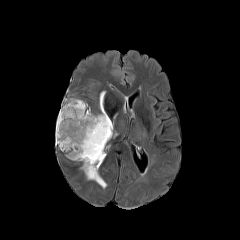
FLAIR magnetic resonance.
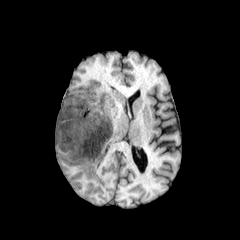
T1-weighted MRI of the same slice.
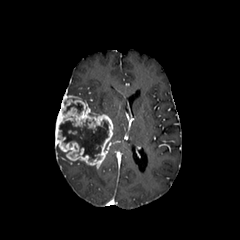
Post-contrast T1-weighted MR.
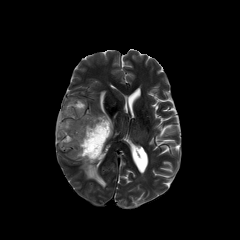
T2-weighted MR.
Axial plane. Image size 240x240.
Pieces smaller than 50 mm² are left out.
<segmentation>
  <necrotic_tumor_core>59 120 108 159, 64 103 82 113</necrotic_tumor_core>
  <peritumoral_edema>81 162 106 188, 99 91 105 113</peritumoral_edema>
  <enhancing_tumor>56 89 113 168</enhancing_tumor>
</segmentation>